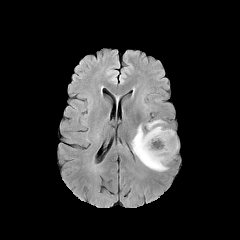
FLAIR MR.
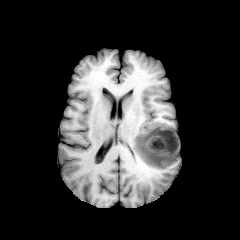
T1-weighted magnetic resonance.
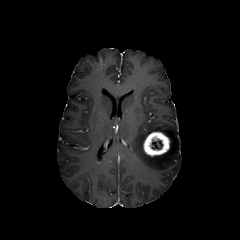
Same slice, post-contrast T1-weighted magnetic resonance.
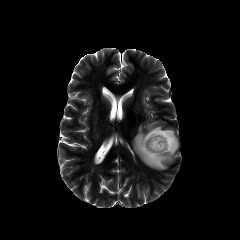
T2-weighted MR image.
240x240 px.
enhancing_tumor:
  - 143, 131, 170, 156
necrotic_tumor_core:
  - 152, 140, 162, 149
peritumoral_edema:
  - 132, 120, 178, 170